Slice index 58. Image width 240 mm, 1.00 mm slice spacing. 240x240 px.
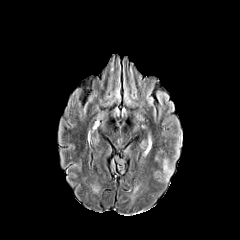
FLAIR magnetic resonance.
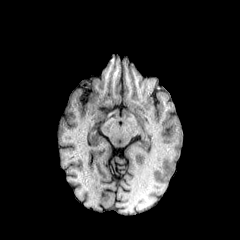
T1-weighted MR image.
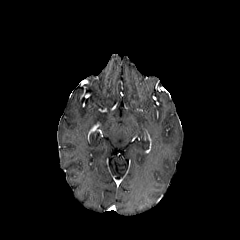
Post-contrast T1-weighted MR.
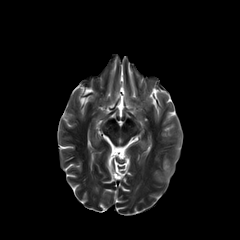
T2-weighted magnetic resonance of the same slice.
The peritumoral edema lies within 163, 159, 173, 177.